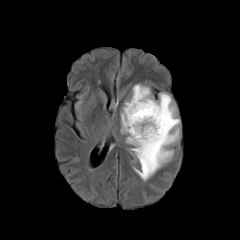
FLAIR MR.
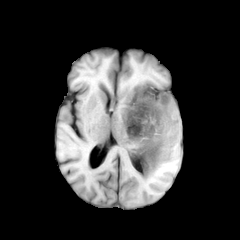
T1-weighted magnetic resonance of the same slice.
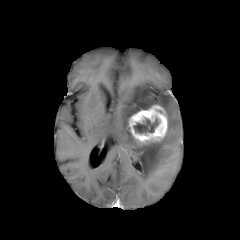
Same slice, post-contrast T1-weighted magnetic resonance.
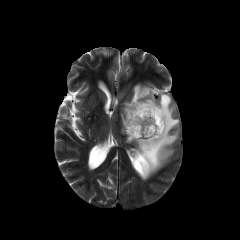
Same slice, T2-weighted MRI.
Brain, Axial view
enhancing_tumor:
  - {"x1": 127, "y1": 105, "x2": 167, "y2": 145}
peritumoral_edema:
  - {"x1": 121, "y1": 84, "x2": 179, "y2": 180}
necrotic_tumor_core:
  - {"x1": 134, "y1": 119, "x2": 158, "y2": 132}